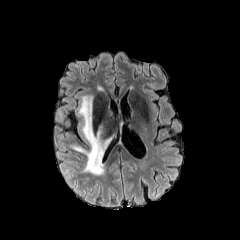
FLAIR magnetic resonance.
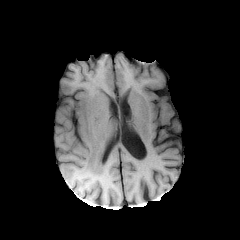
T1-weighted magnetic resonance.
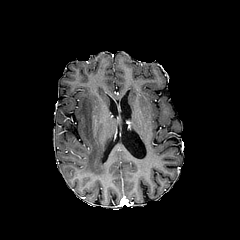
Same slice, post-contrast T1-weighted MRI.
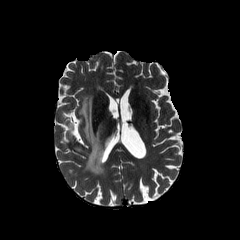
T2-weighted MRI.
Axial plane, 240x240 px
The peritumoral edema appears at bbox(73, 95, 112, 174).